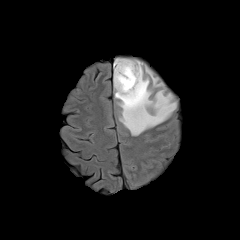
FLAIR MRI.
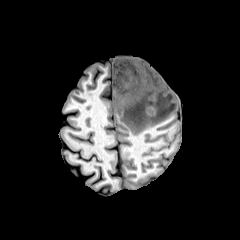
T1-weighted MR image.
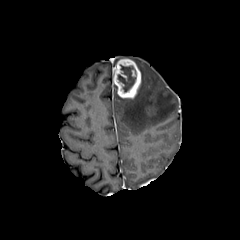
Post-contrast T1-weighted MR.
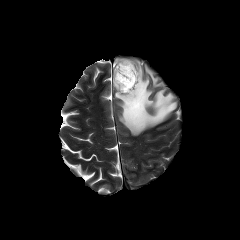
Same slice, T2-weighted MR.
Brain.
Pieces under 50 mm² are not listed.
enhancing tumor: bounding box (x1=113, y1=58, x2=141, y2=98)
necrotic tumor core: bounding box (x1=117, y1=65, x2=136, y2=92)
peritumoral edema: bounding box (x1=114, y1=59, x2=176, y2=135)